Image width 240 mm, 1.00 mm slice spacing; Slice index 59
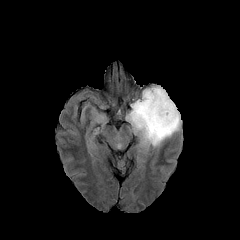
FLAIR magnetic resonance.
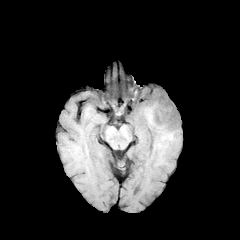
Same slice, T1-weighted MR image.
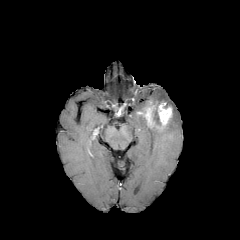
Post-contrast T1-weighted MRI of the same slice.
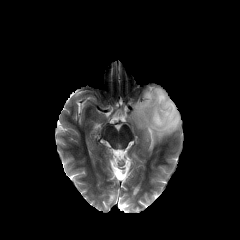
T2-weighted MR of the same slice.
* enhancing tumor: box=[137, 96, 172, 130]
* peritumoral edema: box=[153, 108, 160, 123]; box=[126, 86, 181, 146]